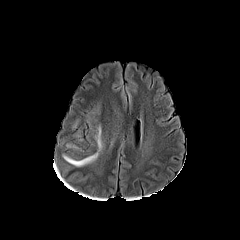
FLAIR MR.
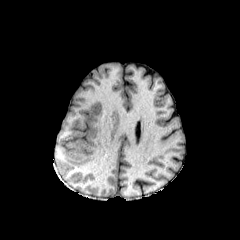
T1-weighted MRI.
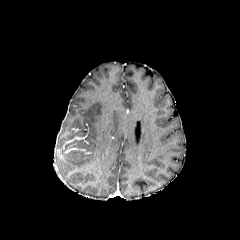
Post-contrast T1-weighted MRI.
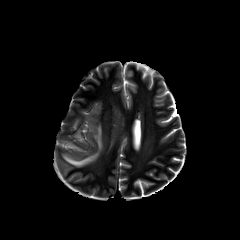
Same slice, T2-weighted magnetic resonance.
Axial view; Head
{
  "peritumoral_edema": [
    "x1=66, y1=143, x2=84, y2=152",
    "x1=63, y1=126, x2=102, y2=166"
  ]
}